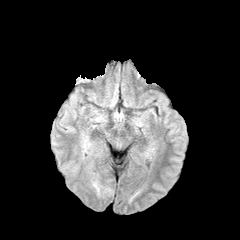
FLAIR MR.
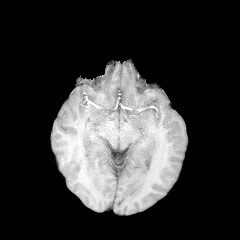
Same slice, T1-weighted MR image.
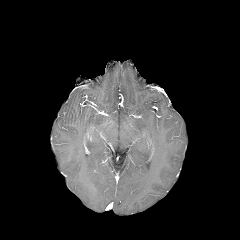
Post-contrast T1-weighted magnetic resonance.
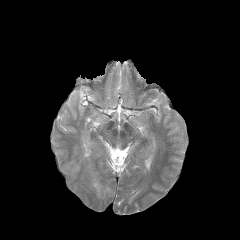
T2-weighted MR image.
Head; Axial view
peritumoral_edema:
  - box=[92, 180, 101, 196]
  - box=[82, 135, 91, 151]